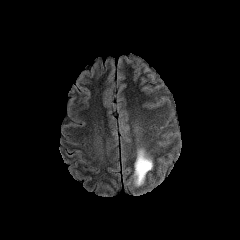
FLAIR magnetic resonance.
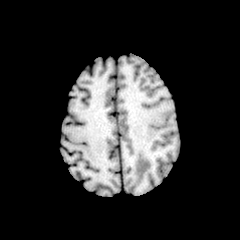
T1-weighted MR image.
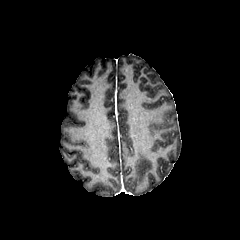
Post-contrast T1-weighted MR of the same slice.
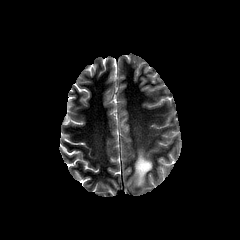
Same slice, T2-weighted MR.
Axial view | Brain
peritumoral edema: [134,149,152,185]